FLAIR MRI.
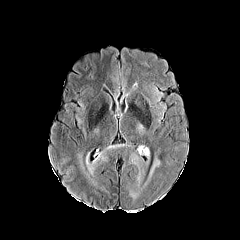
T1-weighted magnetic resonance.
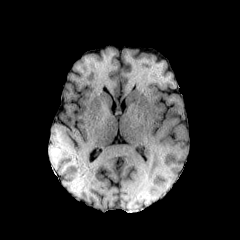
Post-contrast T1-weighted magnetic resonance.
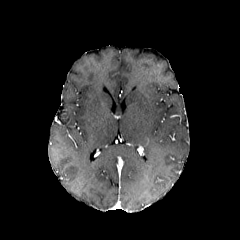
T2-weighted magnetic resonance.
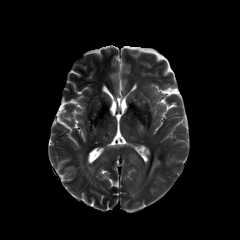
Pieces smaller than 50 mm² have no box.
peritumoral edema: (150, 158, 160, 175), (143, 146, 149, 158), (131, 154, 138, 164)